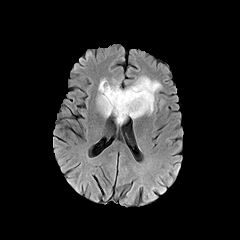
FLAIR MR image.
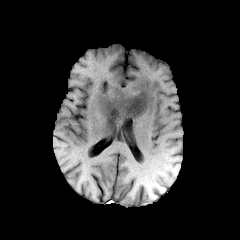
T1-weighted magnetic resonance.
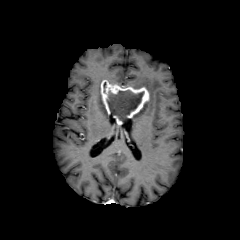
Same slice, post-contrast T1-weighted magnetic resonance.
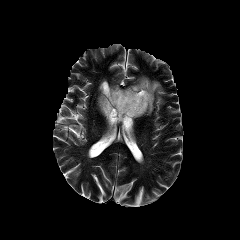
T2-weighted MR image.
Brain, 240x240 px, Axial view
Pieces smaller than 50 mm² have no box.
peritumoral_edema:
  - region(131, 76, 161, 119)
  - region(97, 80, 110, 117)
necrotic_tumor_core:
  - region(107, 90, 143, 121)
enhancing_tumor:
  - region(101, 80, 149, 124)